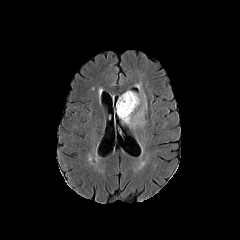
FLAIR magnetic resonance.
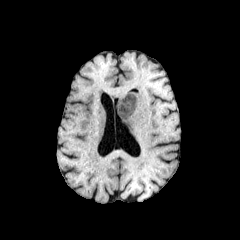
T1-weighted MR image.
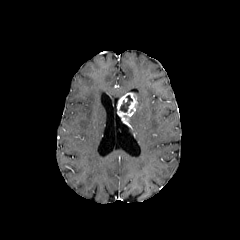
Post-contrast T1-weighted MR of the same slice.
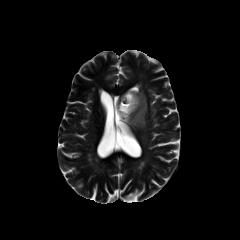
T2-weighted MR image of the same slice.
Axial view
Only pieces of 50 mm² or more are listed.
The enhancing tumor appears at left=117, top=92, right=137, bottom=122. The largest peritumoral edema region appears at left=125, top=84, right=146, bottom=127. The largest necrotic tumor core region appears at left=120, top=95, right=132, bottom=112.